Image width 240 mm; Brain
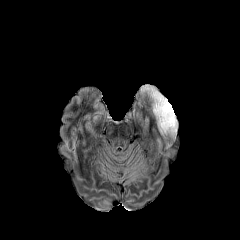
FLAIR MRI.
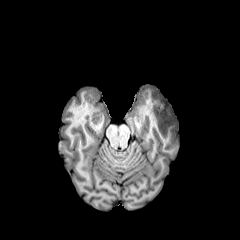
Same slice, T1-weighted magnetic resonance.
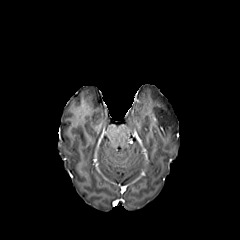
Same slice, post-contrast T1-weighted magnetic resonance.
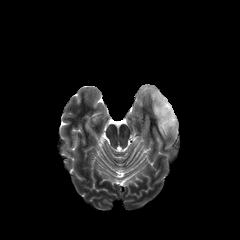
Same slice, T2-weighted MR image.
peritumoral edema at {"x1": 147, "y1": 87, "x2": 177, "y2": 134}